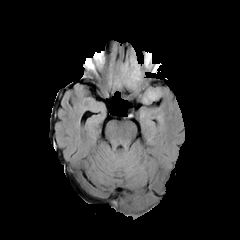
FLAIR MR image.
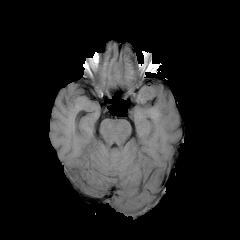
T1-weighted MRI.
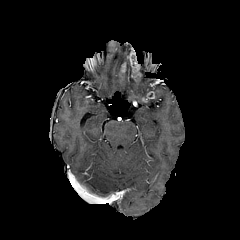
Post-contrast T1-weighted MR image.
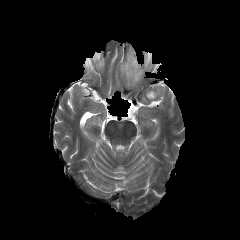
T2-weighted MR image.
Axial view
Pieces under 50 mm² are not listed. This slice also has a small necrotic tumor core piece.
peritumoral edema: bbox(144, 53, 151, 67); bbox(120, 60, 137, 86); bbox(147, 88, 160, 98) | enhancing tumor: bbox(142, 90, 158, 101); bbox(121, 62, 126, 74); bbox(127, 48, 141, 83)